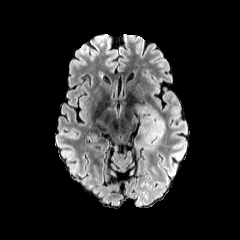
FLAIR MRI.
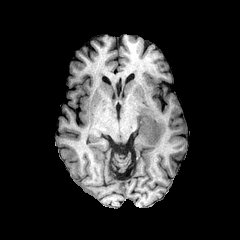
T1-weighted MR of the same slice.
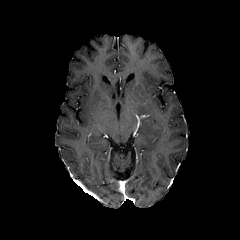
Same slice, post-contrast T1-weighted MR.
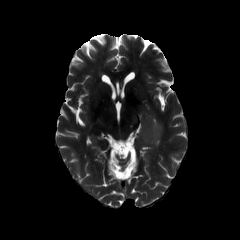
T2-weighted MRI.
Head; Axial slice
<segmentation>
  <peritumoral_edema>{"x1": 136, "y1": 106, "x2": 165, "y2": 149}</peritumoral_edema>
</segmentation>